FLAIR magnetic resonance.
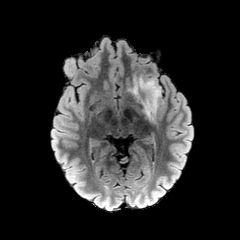
T1-weighted MR.
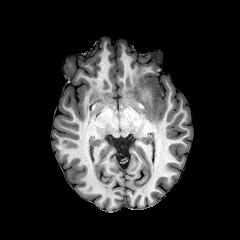
Post-contrast T1-weighted magnetic resonance.
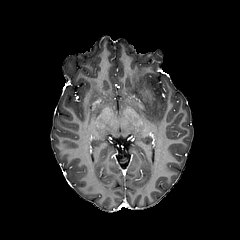
T2-weighted MRI.
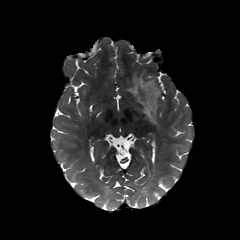
Head.
peritumoral edema: bounding box [130,74,161,123]